FLAIR MRI.
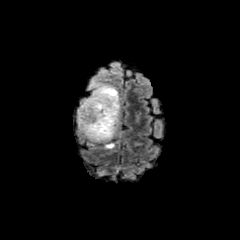
T1-weighted MRI.
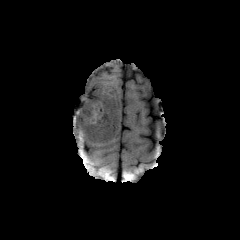
Post-contrast T1-weighted MR image.
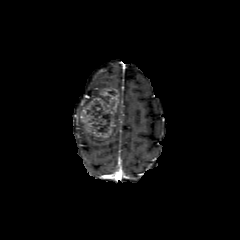
T2-weighted MR image.
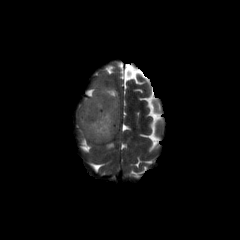
240x240 px
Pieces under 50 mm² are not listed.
Findings:
* necrotic tumor core: (92, 101, 111, 132)
* peritumoral edema: (104, 142, 114, 148), (90, 81, 112, 91), (79, 96, 119, 142)
* enhancing tumor: (80, 87, 120, 140)